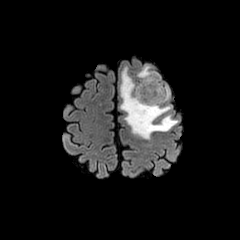
FLAIR MRI.
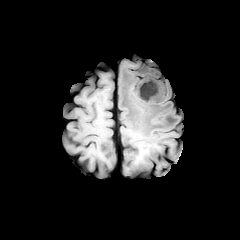
T1-weighted MR.
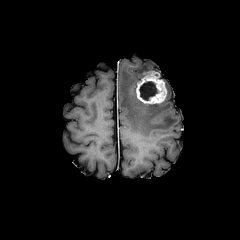
Post-contrast T1-weighted MR image.
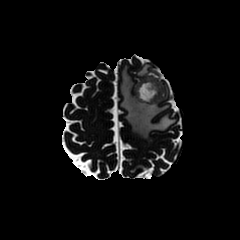
T2-weighted MR image.
Axial view.
necrotic tumor core: l=139, t=81, r=157, b=100 | enhancing tumor: l=136, t=71, r=166, b=103 | peritumoral edema: l=120, t=66, r=177, b=139; l=137, t=65, r=151, b=80